FLAIR MRI.
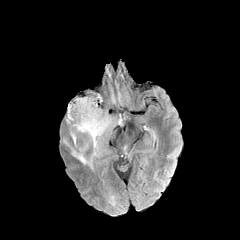
T1-weighted magnetic resonance.
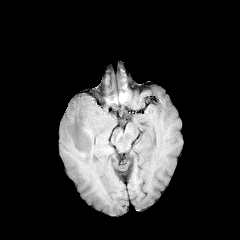
Post-contrast T1-weighted MR.
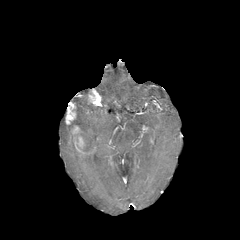
T2-weighted MR.
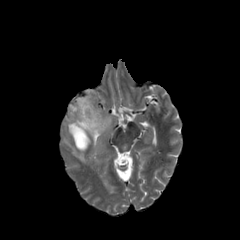
Image size 240x240. Axial view.
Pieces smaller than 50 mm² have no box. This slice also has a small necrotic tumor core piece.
peritumoral edema = left=69, top=97, right=111, bottom=169
enhancing tumor = left=70, top=124, right=87, bottom=154; left=65, top=102, right=76, bottom=125; left=86, top=92, right=97, bottom=105